240x240 px, Brain
FLAIR MRI.
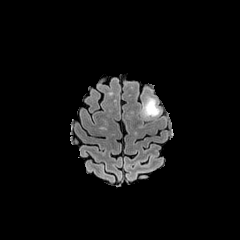
T1-weighted MR image.
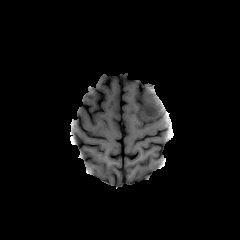
Post-contrast T1-weighted MR image.
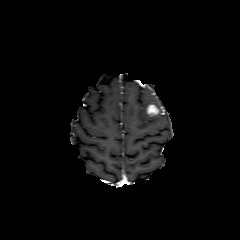
T2-weighted MR image.
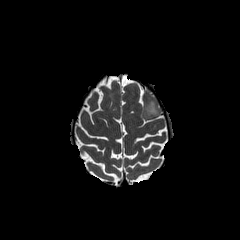
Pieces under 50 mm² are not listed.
The largest peritumoral edema region lies within (142, 98, 155, 116). The enhancing tumor is located at (146, 103, 158, 115).